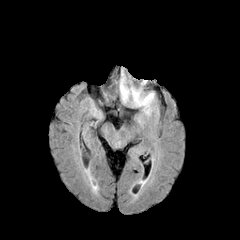
FLAIR MR.
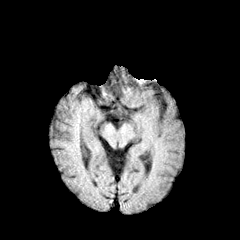
T1-weighted magnetic resonance of the same slice.
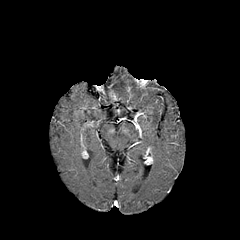
Post-contrast T1-weighted MR image.
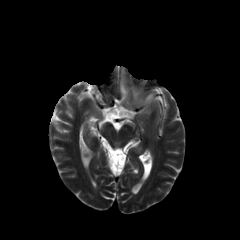
T2-weighted MRI.
Head | Axial plane
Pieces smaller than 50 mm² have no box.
• peritumoral edema: left=120, top=82, right=129, bottom=101; left=131, top=88, right=153, bottom=107